FLAIR MR image.
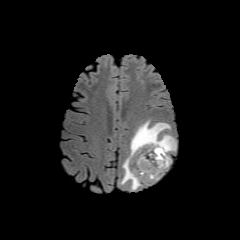
T1-weighted magnetic resonance.
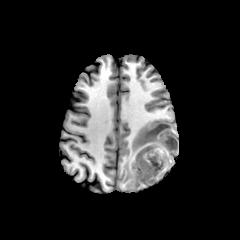
Post-contrast T1-weighted MR.
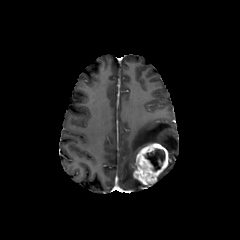
T2-weighted MR image.
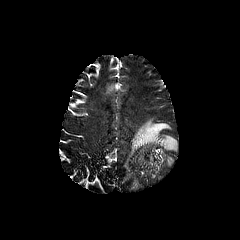
Image size 240x240. Brain.
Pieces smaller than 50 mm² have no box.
Findings:
• necrotic tumor core: <bbox>145, 149, 164, 170</bbox>
• peritumoral edema: <bbox>121, 120, 176, 189</bbox>
• enhancing tumor: <bbox>133, 141, 169, 184</bbox>